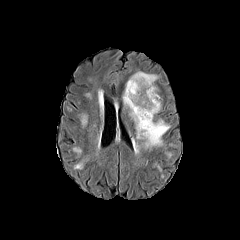
FLAIR MRI.
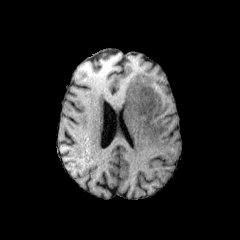
T1-weighted MRI.
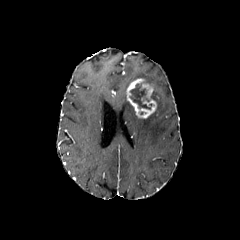
Post-contrast T1-weighted magnetic resonance of the same slice.
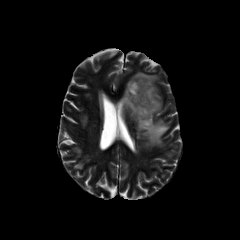
Same slice, T2-weighted MR.
Axial plane
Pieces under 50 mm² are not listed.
necrotic tumor core: {"x1": 130, "y1": 84, "x2": 150, "y2": 109} | peritumoral edema: {"x1": 122, "y1": 71, "x2": 170, "y2": 147} | enhancing tumor: {"x1": 126, "y1": 78, "x2": 157, "y2": 118}